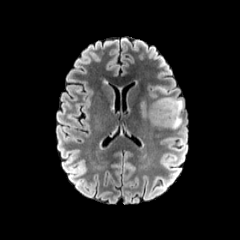
FLAIR MR image.
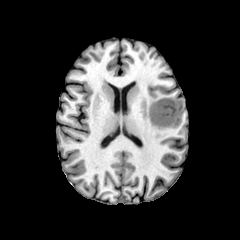
T1-weighted MR image.
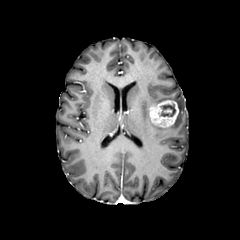
Post-contrast T1-weighted MR image.
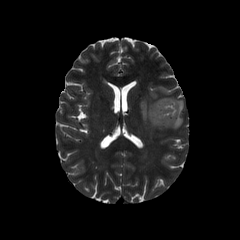
T2-weighted MRI.
240x240 px | Brain
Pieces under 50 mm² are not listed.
{"peritumoral_edema": ["(x1=141, y1=103, x2=148, y2=117)", "(x1=154, y1=97, x2=183, y2=129)", "(x1=157, y1=87, x2=167, y2=93)"], "necrotic_tumor_core": ["(x1=160, y1=104, x2=175, y2=116)"], "enhancing_tumor": ["(x1=149, y1=100, x2=178, y2=127)"]}